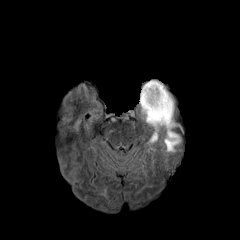
FLAIR MR image.
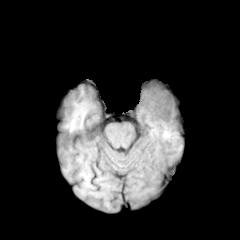
T1-weighted MR.
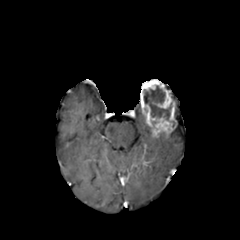
Same slice, post-contrast T1-weighted magnetic resonance.
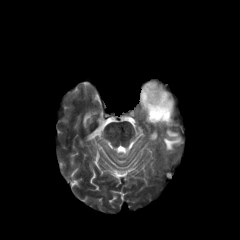
T2-weighted MR.
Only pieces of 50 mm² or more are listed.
The 2 largest peritumoral edema regions are located at (147,134,158,144), (164,132,181,152). The largest enhancing tumor region appears at (140,79,176,136). The largest necrotic tumor core region is at (144,86,171,120).